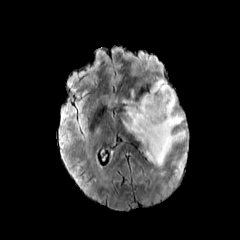
FLAIR MRI.
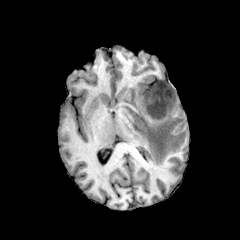
T1-weighted MR image of the same slice.
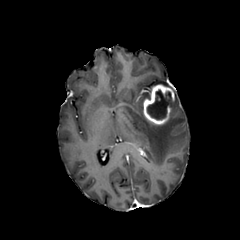
Post-contrast T1-weighted MR.
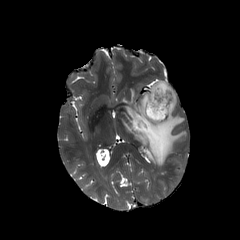
T2-weighted MRI.
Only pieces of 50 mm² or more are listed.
The necrotic tumor core appears at box(147, 90, 170, 119). The 2 largest peritumoral edema regions are bounded by box(123, 93, 185, 166); box(154, 79, 169, 85). The enhancing tumor lies within box(143, 84, 174, 124).